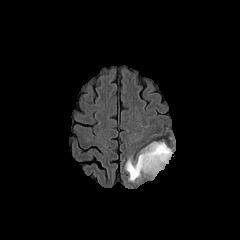
FLAIR magnetic resonance.
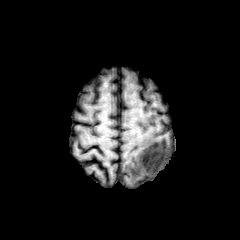
Same slice, T1-weighted MR image.
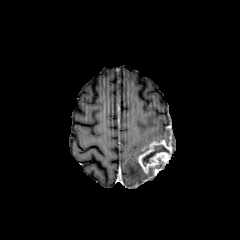
Post-contrast T1-weighted MRI of the same slice.
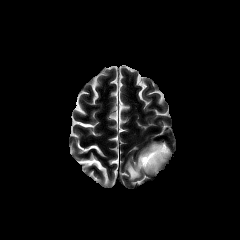
T2-weighted MR.
Axial plane
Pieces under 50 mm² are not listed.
{
  "enhancing_tumor": [
    "bbox(138, 140, 171, 175)"
  ],
  "peritumoral_edema": [
    "bbox(125, 157, 145, 181)"
  ],
  "necrotic_tumor_core": [
    "bbox(142, 145, 168, 165)"
  ]
}